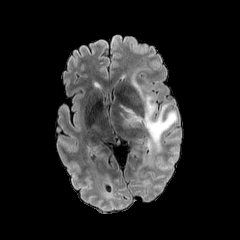
FLAIR MRI.
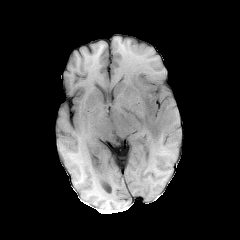
Same slice, T1-weighted MR image.
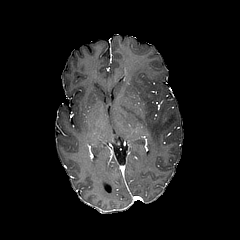
Post-contrast T1-weighted MRI.
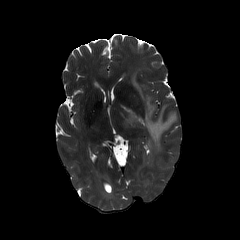
T2-weighted MRI of the same slice.
Axial view
peritumoral edema at <box>120,70,177,153</box>